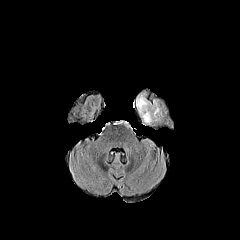
FLAIR magnetic resonance.
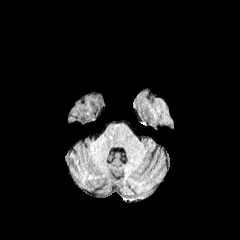
T1-weighted magnetic resonance.
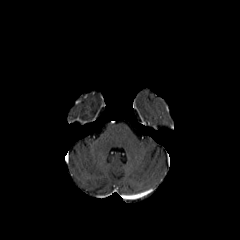
Same slice, post-contrast T1-weighted MRI.
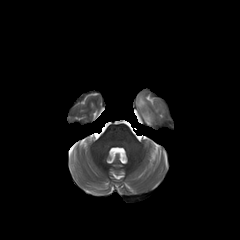
T2-weighted MRI.
Axial view
peritumoral edema at region(135, 91, 159, 125)